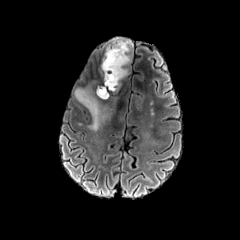
FLAIR MRI.
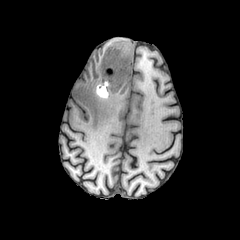
T1-weighted magnetic resonance of the same slice.
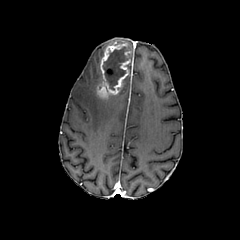
Same slice, post-contrast T1-weighted magnetic resonance.
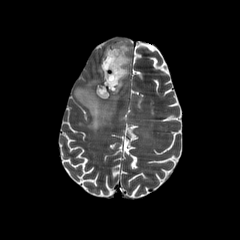
T2-weighted magnetic resonance.
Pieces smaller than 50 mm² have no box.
The largest necrotic tumor core region is located at bbox=[103, 47, 128, 89]. The enhancing tumor appears at bbox=[97, 41, 131, 98]. The 2 largest peritumoral edema regions are bounded by bbox=[110, 39, 132, 49]; bbox=[75, 87, 120, 131].